FLAIR magnetic resonance.
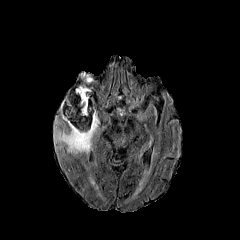
T1-weighted MR image.
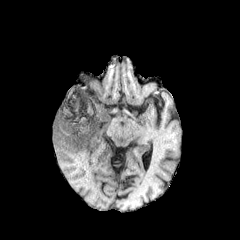
Post-contrast T1-weighted MR.
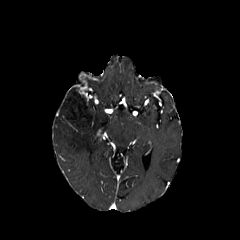
T2-weighted MRI.
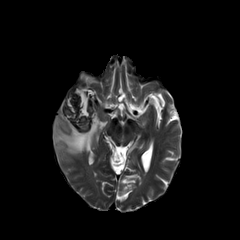
Axial view | 240x240
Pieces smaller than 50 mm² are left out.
• peritumoral edema: rect(54, 112, 99, 154)
• enhancing tumor: rect(77, 85, 89, 104)
• necrotic tumor core: rect(62, 85, 93, 131)